FLAIR MR.
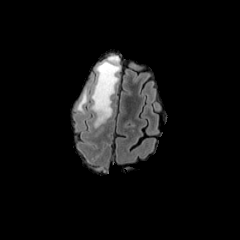
T1-weighted MRI.
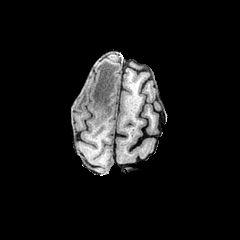
Post-contrast T1-weighted magnetic resonance.
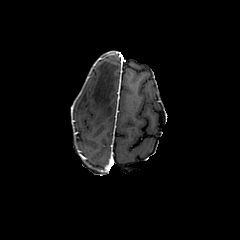
T2-weighted MR.
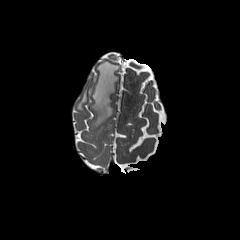
Axial slice
Annotated regions:
- peritumoral edema: [91,56,120,127], [77,89,86,111]